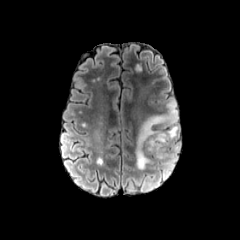
FLAIR MRI.
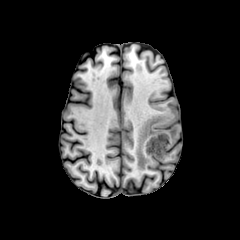
T1-weighted MR image of the same slice.
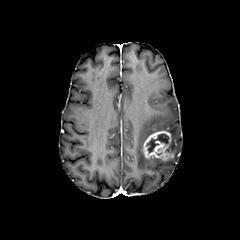
Post-contrast T1-weighted MR image.
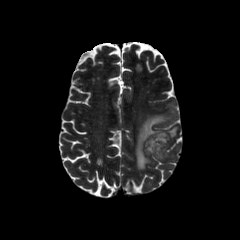
T2-weighted MR image.
Brain. Axial slice.
enhancing_tumor:
  - 143, 130, 173, 159
peritumoral_edema:
  - 135, 100, 180, 169
necrotic_tumor_core:
  - 146, 134, 168, 152